FLAIR MR image.
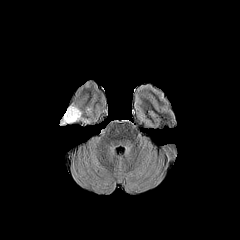
T1-weighted MR image.
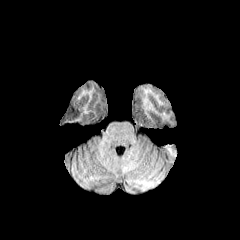
Post-contrast T1-weighted MR.
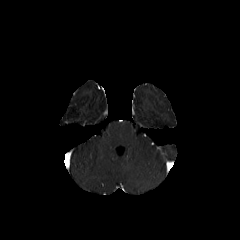
T2-weighted MR.
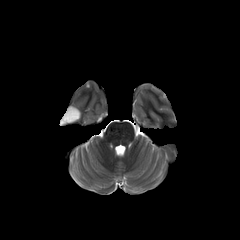
Axial view
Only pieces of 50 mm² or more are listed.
peritumoral edema: 64, 106, 81, 122